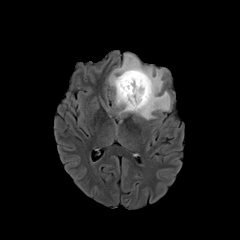
FLAIR MR.
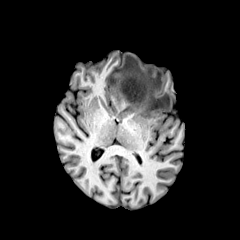
T1-weighted MRI.
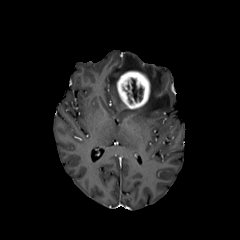
Same slice, post-contrast T1-weighted MR image.
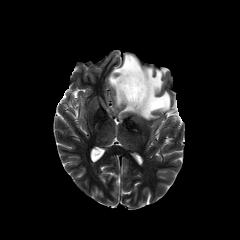
Same slice, T2-weighted MR.
Axial plane
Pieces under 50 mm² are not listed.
necrotic tumor core: 131:78:142:101 | peritumoral edema: 108:53:171:119 | enhancing tumor: 116:71:150:109